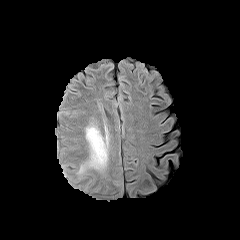
FLAIR MR.
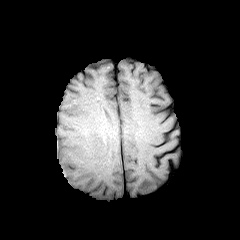
Same slice, T1-weighted magnetic resonance.
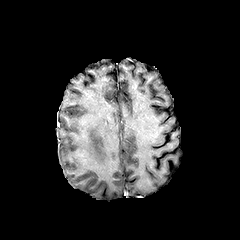
Post-contrast T1-weighted MRI of the same slice.
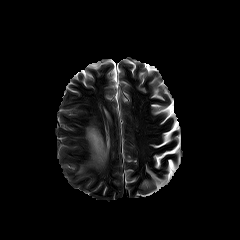
T2-weighted MRI.
Brain.
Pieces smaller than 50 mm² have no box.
<segmentation>
  <peritumoral_edema>86 126 108 166</peritumoral_edema>
</segmentation>